Head, Slice index 81, Image covers 240 mm x 240 mm
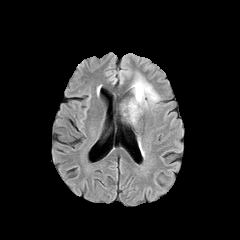
FLAIR MRI.
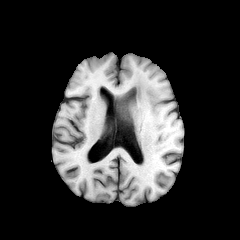
T1-weighted MR image.
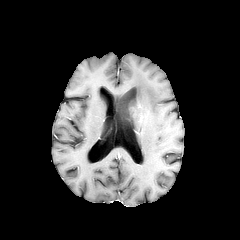
Same slice, post-contrast T1-weighted MR image.
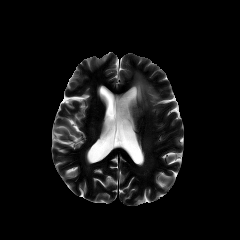
Same slice, T2-weighted magnetic resonance.
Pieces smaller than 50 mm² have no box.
The largest peritumoral edema region appears at [128, 77, 158, 121].